Brain | 240x240
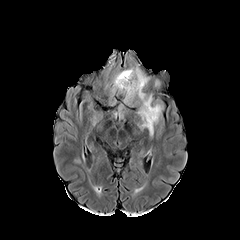
FLAIR magnetic resonance.
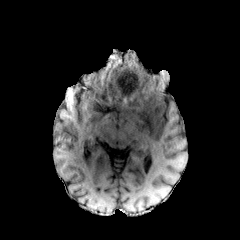
T1-weighted MR image of the same slice.
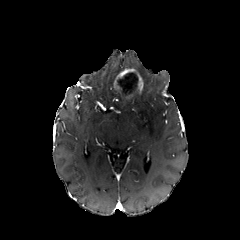
Post-contrast T1-weighted MR.
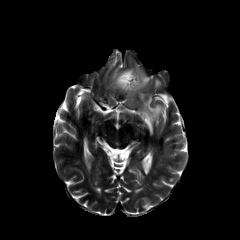
T2-weighted MR of the same slice.
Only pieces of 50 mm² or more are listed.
<segmentation>
  <peritumoral_edema><box>124,92,163,135</box>, <box>135,66,149,86</box></peritumoral_edema>
  <enhancing_tumor><box>113,68,143,93</box></enhancing_tumor>
  <necrotic_tumor_core><box>117,72,138,96</box></necrotic_tumor_core>
</segmentation>